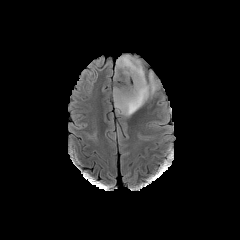
FLAIR MRI.
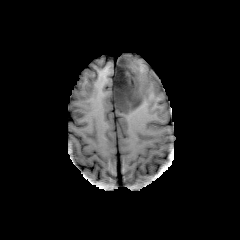
T1-weighted MRI.
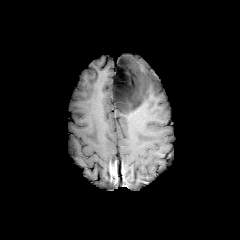
Same slice, post-contrast T1-weighted MRI.
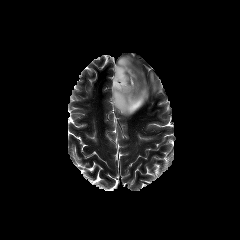
T2-weighted magnetic resonance of the same slice.
Axial view; Image size 240x240
Findings:
- necrotic tumor core: [113,57,146,110]
- peritumoral edema: [114,55,159,116]